Brain. Axial plane. 240x240 px.
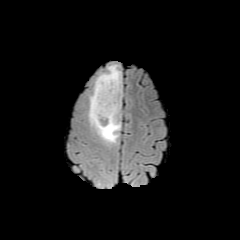
FLAIR MR image.
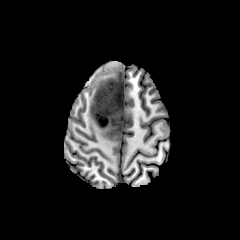
T1-weighted MRI of the same slice.
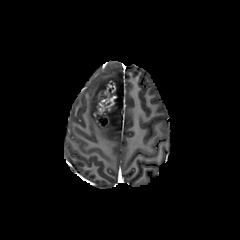
Same slice, post-contrast T1-weighted MR.
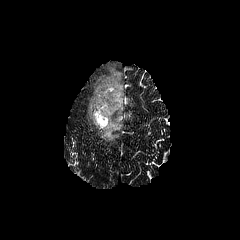
Same slice, T2-weighted MRI.
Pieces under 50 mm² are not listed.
peritumoral_edema:
  - {"x1": 88, "y1": 64, "x2": 122, "y2": 144}
enhancing_tumor:
  - {"x1": 93, "y1": 82, "x2": 117, "y2": 127}
necrotic_tumor_core:
  - {"x1": 96, "y1": 114, "x2": 107, "y2": 126}